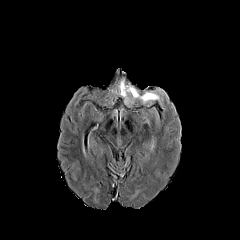
FLAIR MRI.
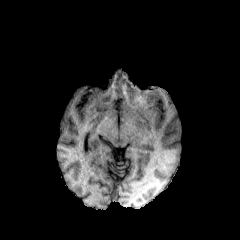
T1-weighted MRI.
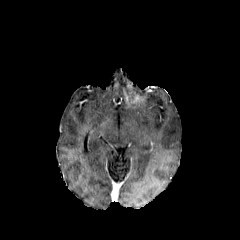
Post-contrast T1-weighted MRI of the same slice.
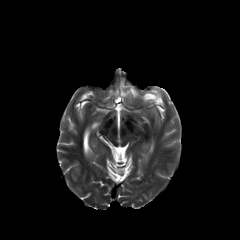
Same slice, T2-weighted MRI.
Axial slice
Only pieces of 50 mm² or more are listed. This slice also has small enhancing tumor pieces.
3 peritumoral edema regions are located at region(127, 87, 138, 103); region(139, 92, 158, 102); region(119, 81, 125, 96).